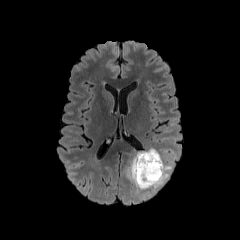
FLAIR MR image.
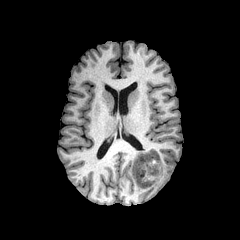
T1-weighted MRI of the same slice.
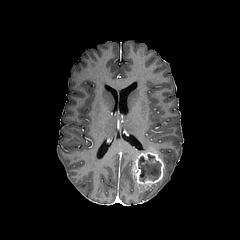
Post-contrast T1-weighted MR of the same slice.
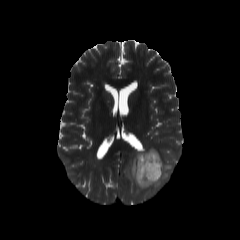
Same slice, T2-weighted MRI.
Axial slice. 240x240.
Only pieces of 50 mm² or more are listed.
peritumoral edema at l=125, t=149, r=179, b=198
necrotic tumor core at l=138, t=154, r=161, b=181
enhancing tumor at l=132, t=151, r=164, b=187